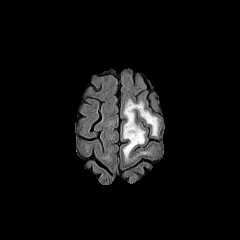
FLAIR magnetic resonance.
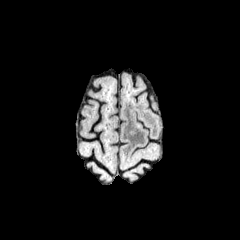
T1-weighted MR image.
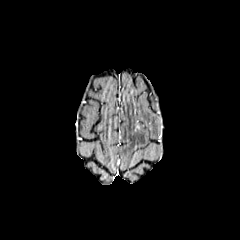
Post-contrast T1-weighted MR.
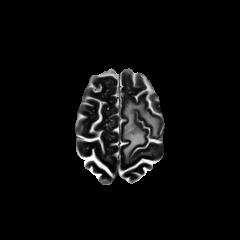
T2-weighted MR.
Axial view, Brain
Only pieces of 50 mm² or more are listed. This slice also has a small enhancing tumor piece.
peritumoral_edema:
  - (left=123, top=99, right=158, bottom=160)